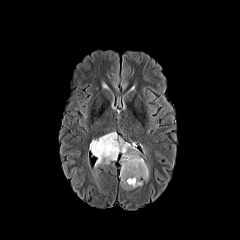
FLAIR magnetic resonance.
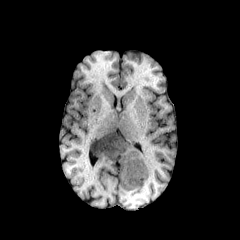
T1-weighted MR.
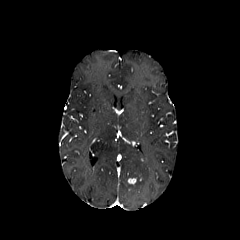
Post-contrast T1-weighted MRI of the same slice.
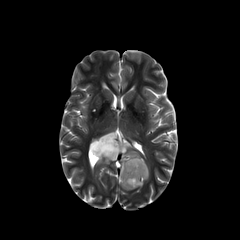
T2-weighted magnetic resonance.
Head
peritumoral edema = 89, 132, 149, 189
enhancing tumor = 127, 178, 136, 184